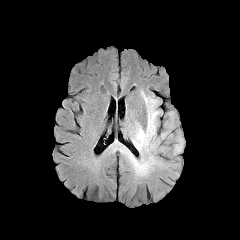
FLAIR MRI.
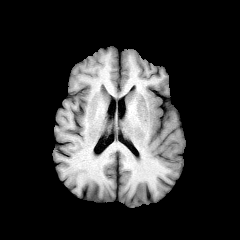
T1-weighted MR of the same slice.
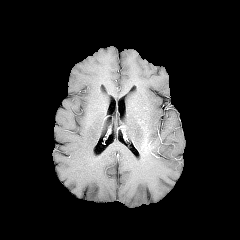
Post-contrast T1-weighted MR of the same slice.
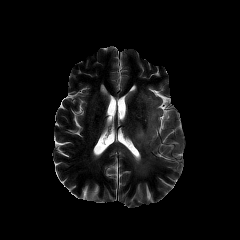
T2-weighted MRI.
Head | Axial slice
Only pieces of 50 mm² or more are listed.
peritumoral edema: bounding box box(129, 94, 160, 173)